Head. Axial plane. 240x240 px.
FLAIR magnetic resonance.
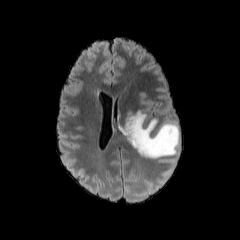
T1-weighted MR.
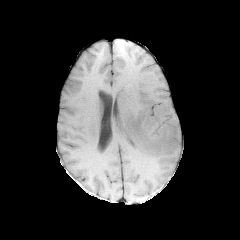
Post-contrast T1-weighted MR.
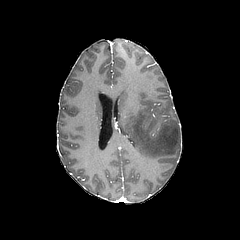
T2-weighted MR image.
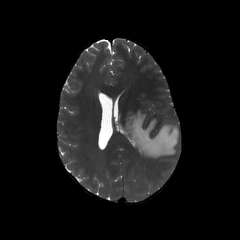
<segmentation>
  <peritumoral_edema>(122, 111, 179, 158)</peritumoral_edema>
</segmentation>